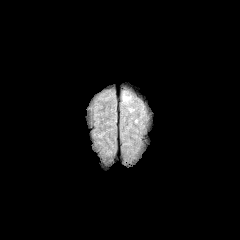
FLAIR magnetic resonance.
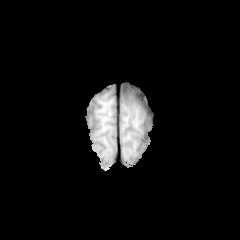
T1-weighted MR image of the same slice.
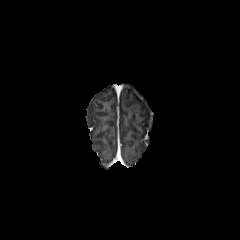
Post-contrast T1-weighted magnetic resonance.
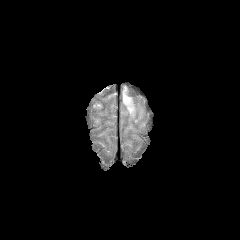
Same slice, T2-weighted magnetic resonance.
Axial plane
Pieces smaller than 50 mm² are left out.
peritumoral edema = (123,94,130,103)